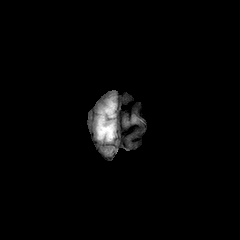
FLAIR magnetic resonance.
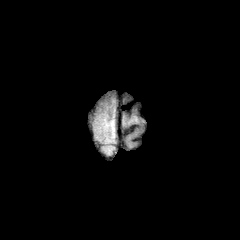
T1-weighted MR.
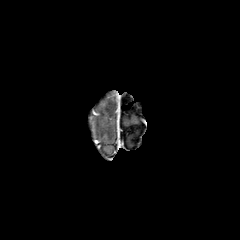
Post-contrast T1-weighted MR image of the same slice.
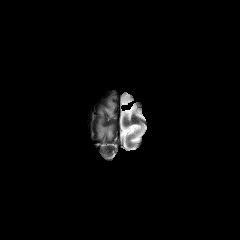
T2-weighted magnetic resonance.
<segmentation>
  <peritumoral_edema>97:116:113:140, 105:102:114:116</peritumoral_edema>
</segmentation>